Axial view; Head
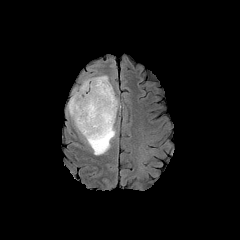
FLAIR MRI.
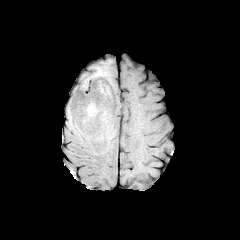
Same slice, T1-weighted MRI.
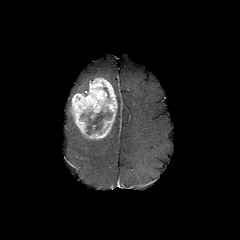
Post-contrast T1-weighted MRI.
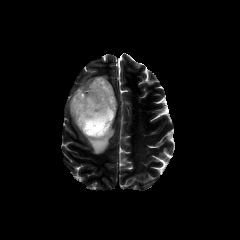
T2-weighted MR image.
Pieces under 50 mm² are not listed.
peritumoral edema: bbox(73, 77, 96, 94); bbox(74, 75, 118, 155) | enhancing tumor: bbox(70, 77, 117, 139) | necrotic tumor core: bbox(87, 111, 111, 134)